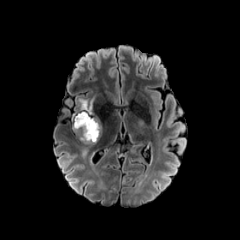
FLAIR MR.
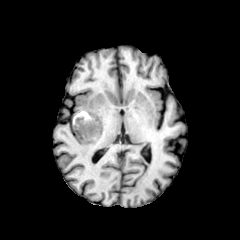
Same slice, T1-weighted MRI.
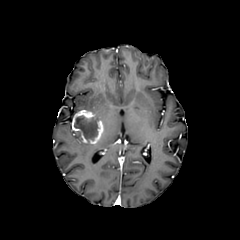
Post-contrast T1-weighted MR image of the same slice.
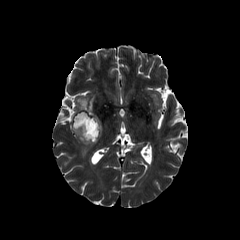
Same slice, T2-weighted MRI.
Head
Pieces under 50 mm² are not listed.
<segmentation>
  <necrotic_tumor_core>[74, 115, 97, 140]</necrotic_tumor_core>
  <enhancing_tumor>[72, 110, 103, 144]</enhancing_tumor>
  <peritumoral_edema>[79, 96, 94, 112]</peritumoral_edema>
</segmentation>